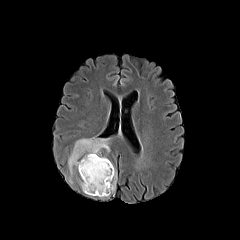
FLAIR MR image.
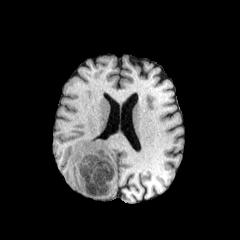
T1-weighted MRI.
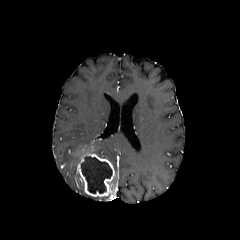
Post-contrast T1-weighted MR.
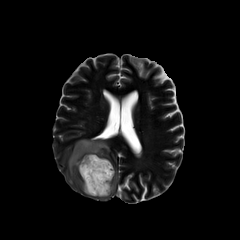
T2-weighted MR image.
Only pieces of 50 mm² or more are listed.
{
  "peritumoral_edema": [
    "left=108, top=173, right=116, bottom=196",
    "left=68, top=138, right=110, bottom=173"
  ],
  "necrotic_tumor_core": [
    "left=81, top=156, right=112, bottom=193"
  ],
  "enhancing_tumor": [
    "left=77, top=153, right=115, bottom=196"
  ]
}